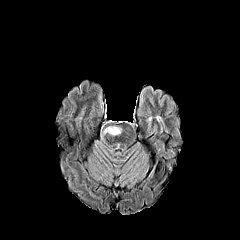
FLAIR magnetic resonance.
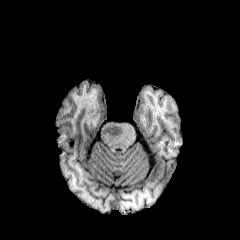
T1-weighted MR of the same slice.
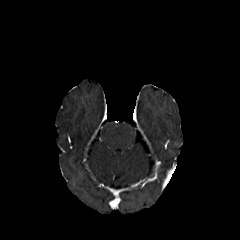
Same slice, post-contrast T1-weighted magnetic resonance.
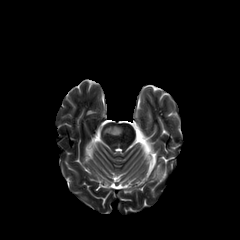
T2-weighted magnetic resonance of the same slice.
Brain
The peritumoral edema lies within bbox=[103, 126, 121, 135].